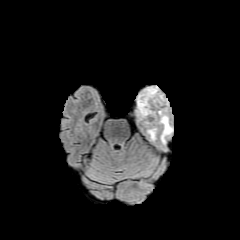
FLAIR MR.
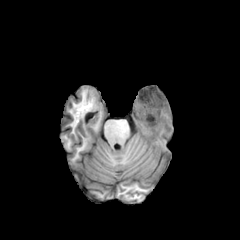
T1-weighted MRI.
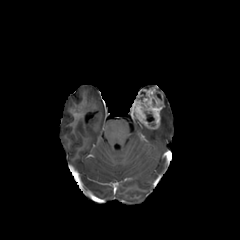
Post-contrast T1-weighted magnetic resonance.
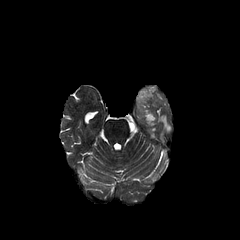
T2-weighted MRI.
Axial plane
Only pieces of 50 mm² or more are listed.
peritumoral_edema:
  - {"x1": 147, "y1": 129, "x2": 156, "y2": 139}
  - {"x1": 160, "y1": 98, "x2": 172, "y2": 144}
enhancing_tumor:
  - {"x1": 133, "y1": 86, "x2": 164, "y2": 129}
necrotic_tumor_core:
  - {"x1": 145, "y1": 112, "x2": 154, "y2": 122}